Image size 240x240, Brain, Slice 74 of 155, Axial slice
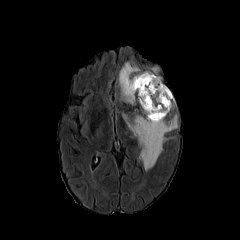
FLAIR MR image.
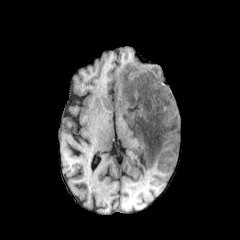
T1-weighted MRI of the same slice.
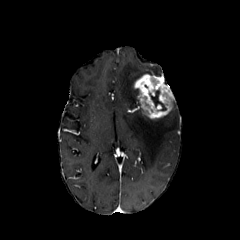
Post-contrast T1-weighted magnetic resonance of the same slice.
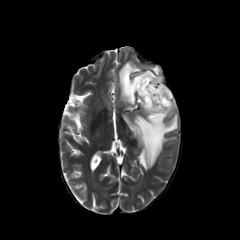
Same slice, T2-weighted magnetic resonance.
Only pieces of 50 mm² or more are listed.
The enhancing tumor is bounded by x1=133, y1=74, x2=174, y2=119. The 3 largest peritumoral edema regions appear at x1=123, y1=114, x2=178, y2=171; x1=151, y1=66, x2=159, y2=76; x1=118, y1=61, x2=152, y2=104. The largest necrotic tumor core region lies within x1=150, y1=90, x2=166, y2=110.